Axial plane; Slice index 74; Image covers 240 mm x 240 mm
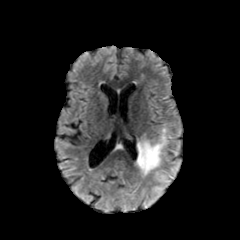
FLAIR MRI.
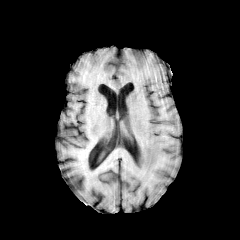
T1-weighted MRI of the same slice.
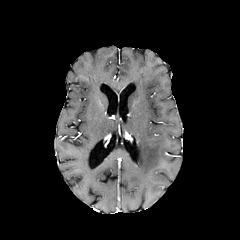
Post-contrast T1-weighted MR image.
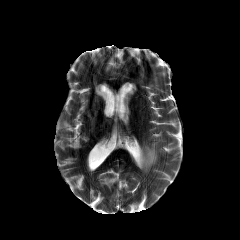
T2-weighted MR image of the same slice.
peritumoral edema — [137,128,167,175]